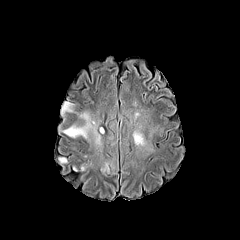
FLAIR magnetic resonance.
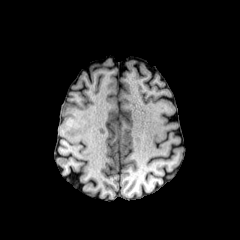
Same slice, T1-weighted MRI.
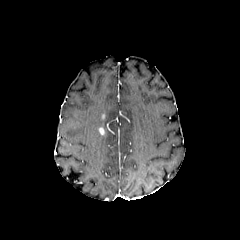
Post-contrast T1-weighted magnetic resonance.
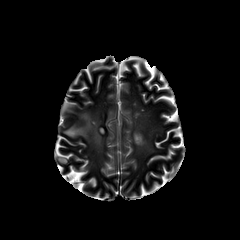
T2-weighted MRI.
Head, 240x240 px, Axial plane
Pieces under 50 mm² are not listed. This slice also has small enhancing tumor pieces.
peritumoral_edema:
  - x1=61 y1=102 x2=72 y2=113
  - x1=133 y1=131 x2=146 y2=145
  - x1=63 y1=113 x2=100 y2=144